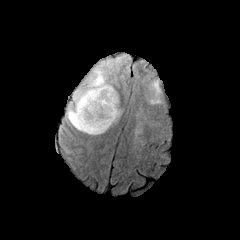
FLAIR MR.
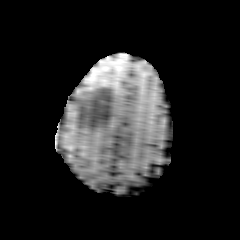
Same slice, T1-weighted magnetic resonance.
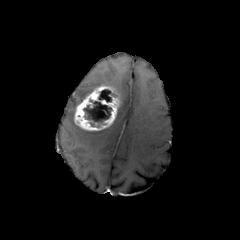
Same slice, post-contrast T1-weighted MR.
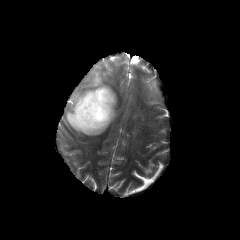
Same slice, T2-weighted MR image.
Brain
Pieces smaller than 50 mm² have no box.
necrotic_tumor_core:
  - (99, 90, 111, 101)
  - (84, 102, 111, 121)
peritumoral_edema:
  - (65, 63, 111, 134)
enhancing_tumor:
  - (74, 85, 119, 130)